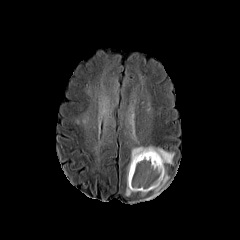
FLAIR MR.
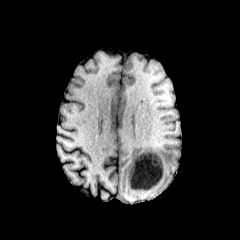
T1-weighted MR image.
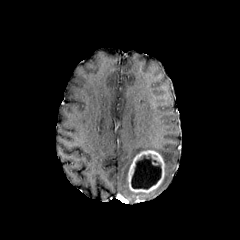
Post-contrast T1-weighted MRI.
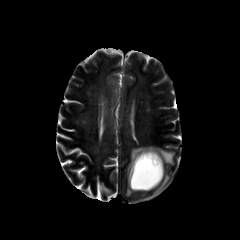
Same slice, T2-weighted MR image.
Axial slice
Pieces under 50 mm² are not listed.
{
  "peritumoral_edema": [
    "rect(104, 100, 114, 124)",
    "rect(147, 168, 169, 199)",
    "rect(119, 104, 174, 196)"
  ],
  "necrotic_tumor_core": [
    "rect(131, 155, 161, 189)"
  ],
  "enhancing_tumor": [
    "rect(128, 150, 164, 192)"
  ]
}